FLAIR MR.
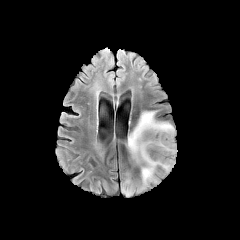
T1-weighted MR.
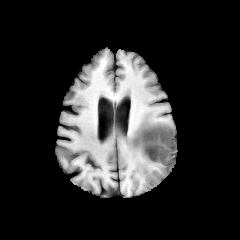
Post-contrast T1-weighted MRI.
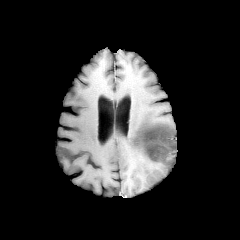
T2-weighted MRI.
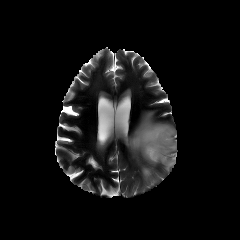
Axial slice | 240x240 px
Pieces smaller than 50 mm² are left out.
The largest enhancing tumor region appears at box(137, 126, 176, 164). The necrotic tumor core is at box(138, 127, 174, 162). The largest peritumoral edema region is located at box(126, 111, 175, 186).